FLAIR MRI.
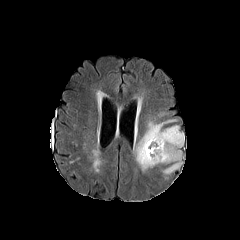
T1-weighted MR image.
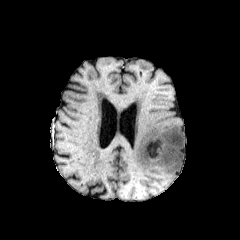
Post-contrast T1-weighted magnetic resonance.
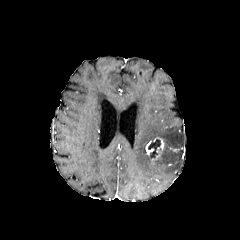
T2-weighted MRI.
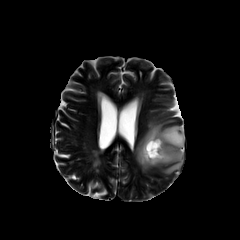
Axial plane.
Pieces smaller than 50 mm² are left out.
<segmentation>
  <necrotic_tumor_core>148,139,160,158</necrotic_tumor_core>
  <peritumoral_edema>134,119,184,174</peritumoral_edema>
  <enhancing_tumor>145,137,164,162</enhancing_tumor>
</segmentation>